FLAIR MR image.
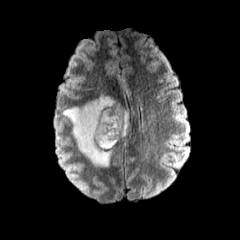
T1-weighted MR.
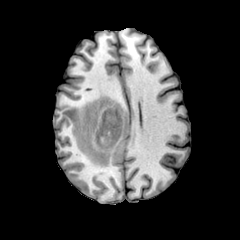
Post-contrast T1-weighted MR.
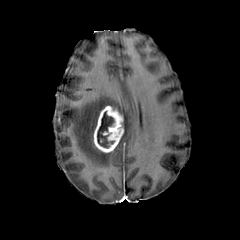
T2-weighted MR image.
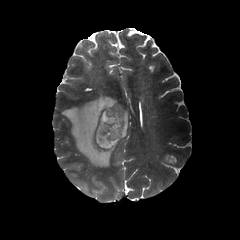
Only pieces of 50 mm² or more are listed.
The largest enhancing tumor region is located at (left=93, top=105, right=124, bottom=153). The peritumoral edema is at (left=63, top=93, right=128, bottom=166). The necrotic tumor core is bounded by (left=97, top=111, right=114, bottom=148).